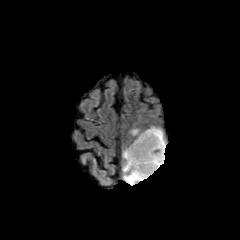
FLAIR MR.
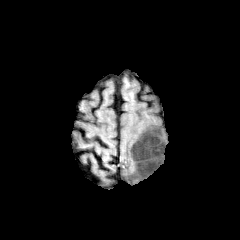
T1-weighted MR.
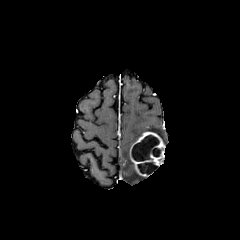
Post-contrast T1-weighted MRI.
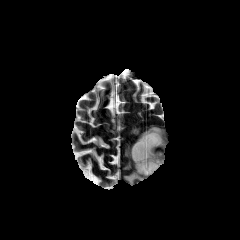
T2-weighted MR.
240x240
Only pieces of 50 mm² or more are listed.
* enhancing tumor: 129,131,165,176
* necrotic tumor core: 132,135,161,161; 138,162,157,174
* peritumoral edema: 146,126,165,144; 123,146,147,185; 130,128,141,137